FLAIR MR image.
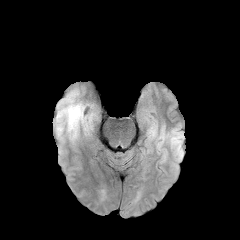
T1-weighted MR.
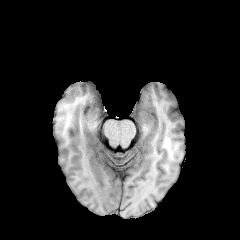
Post-contrast T1-weighted MR image.
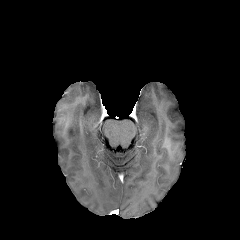
T2-weighted MRI.
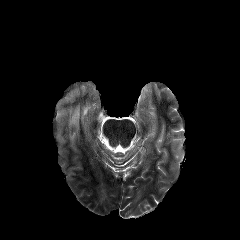
Axial slice; Brain; 240x240
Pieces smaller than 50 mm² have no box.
Annotated regions:
• peritumoral edema: x1=64 y1=104 x2=82 y2=127